Image width 240 mm, 1.00 mm slice spacing, Slice 76 of 155, Head
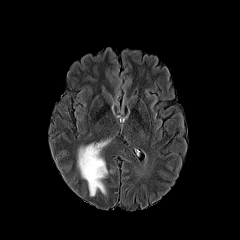
FLAIR magnetic resonance.
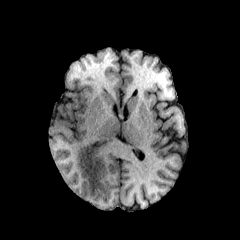
T1-weighted MR image.
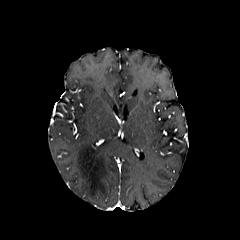
Same slice, post-contrast T1-weighted magnetic resonance.
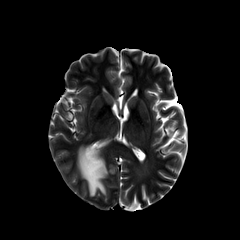
T2-weighted magnetic resonance.
The peritumoral edema lies within region(77, 140, 109, 196).